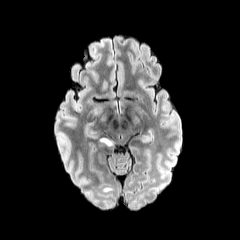
FLAIR magnetic resonance.
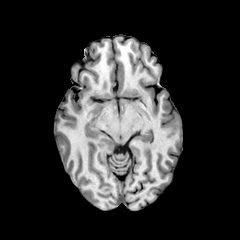
T1-weighted MR of the same slice.
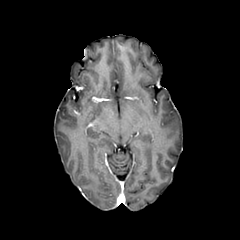
Post-contrast T1-weighted MR of the same slice.
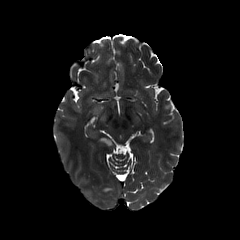
Same slice, T2-weighted MR image.
Axial view
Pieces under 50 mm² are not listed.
peritumoral edema at rect(101, 139, 113, 145)